240x240, Head
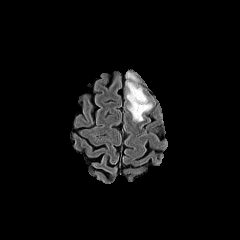
FLAIR magnetic resonance.
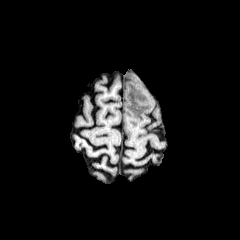
T1-weighted MRI.
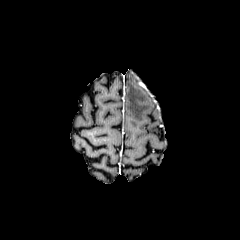
Post-contrast T1-weighted MRI.
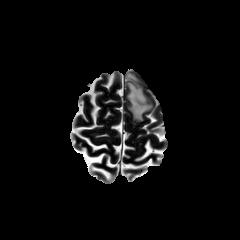
T2-weighted MRI.
peritumoral edema at x1=126 y1=73 x2=136 y2=81, x1=126 y1=81 x2=152 y2=121